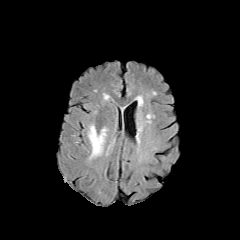
FLAIR magnetic resonance.
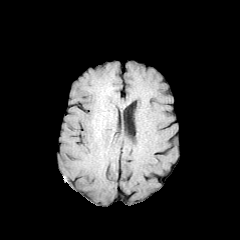
T1-weighted magnetic resonance.
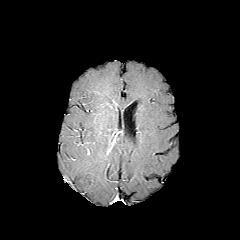
Same slice, post-contrast T1-weighted MR image.
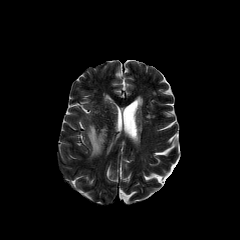
Same slice, T2-weighted MR image.
240x240. Axial view.
The peritumoral edema lies within x1=87 y1=124 x2=107 y2=159.